Head
FLAIR MR.
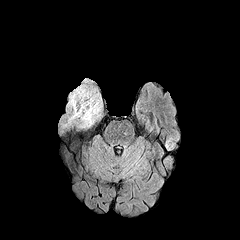
T1-weighted MRI.
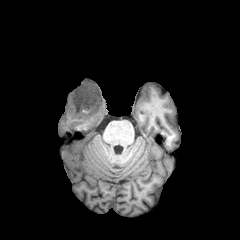
Post-contrast T1-weighted magnetic resonance.
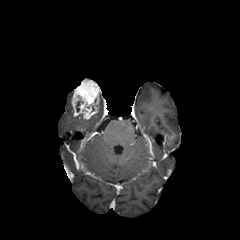
T2-weighted magnetic resonance.
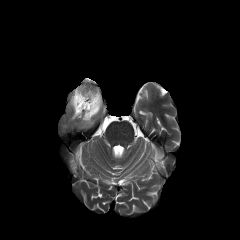
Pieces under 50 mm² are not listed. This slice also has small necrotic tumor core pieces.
{
  "enhancing_tumor": [
    "71:79:100:119"
  ],
  "peritumoral_edema": [
    "68:94:102:127",
    "67:93:72:108"
  ]
}